FLAIR magnetic resonance.
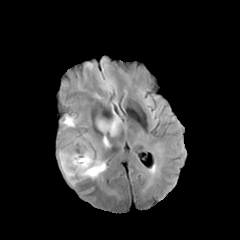
T1-weighted magnetic resonance.
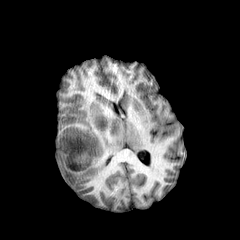
Post-contrast T1-weighted MRI.
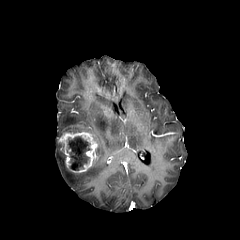
T2-weighted MR image.
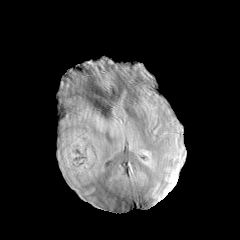
Axial view
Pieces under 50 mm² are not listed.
peritumoral edema — 95,115,122,147; 57,148,106,185; 60,113,83,130
necrotic tumor core — 68,137,89,169
enhancing tumor — 58,131,101,173